Image size 240x240 | Slice index 20 | Brain
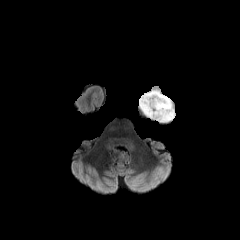
FLAIR MRI.
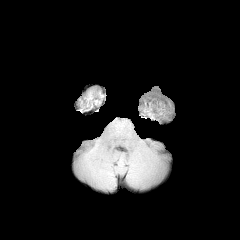
T1-weighted MRI of the same slice.
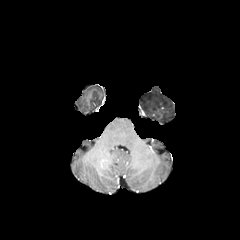
Same slice, post-contrast T1-weighted magnetic resonance.
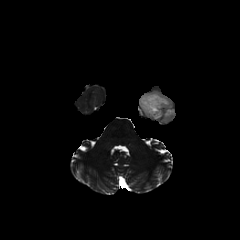
T2-weighted magnetic resonance.
The peritumoral edema appears at [x1=139, y1=89, x2=175, y2=122].